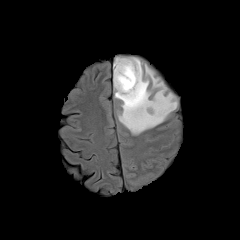
FLAIR MR image.
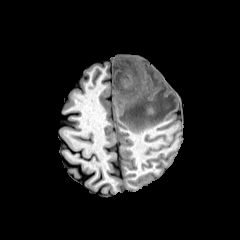
T1-weighted MR image.
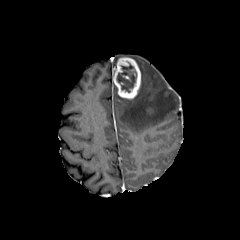
Post-contrast T1-weighted MR.
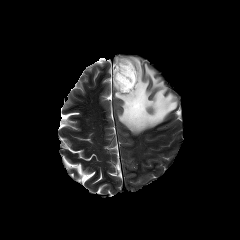
T2-weighted MR of the same slice.
Axial slice, Brain
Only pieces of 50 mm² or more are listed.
enhancing tumor at [x1=113, y1=57, x2=140, y2=99]
peritumoral edema at [x1=114, y1=57, x2=177, y2=134]
necrotic tumor core at [x1=117, y1=63, x2=136, y2=92]